FLAIR magnetic resonance.
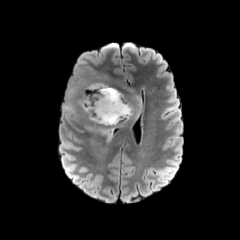
T1-weighted MR image.
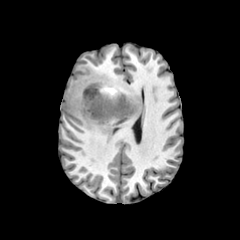
Post-contrast T1-weighted MRI.
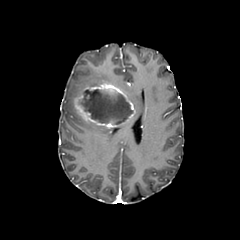
T2-weighted MR.
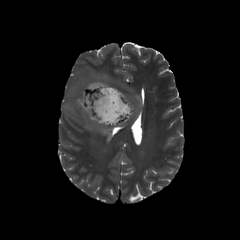
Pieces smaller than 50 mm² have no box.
enhancing tumor at x1=73 y1=83 x2=139 y2=129
necrotic tumor core at x1=79 y1=89 x2=132 y2=124
peritumoral edema at x1=84 y1=126 x2=112 y2=136, x1=64 y1=103 x2=76 y2=112, x1=122 y1=94 x2=143 y2=125